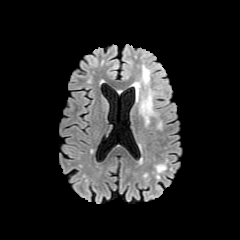
FLAIR magnetic resonance.
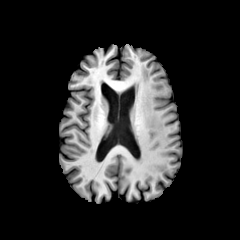
T1-weighted MR of the same slice.
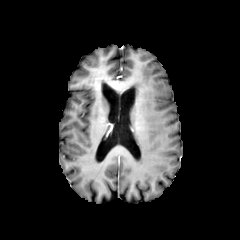
Post-contrast T1-weighted MR image.
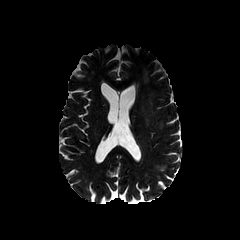
T2-weighted MR image.
Head, Axial plane
peritumoral_edema:
  - (x1=139, y1=66, x2=162, y2=129)